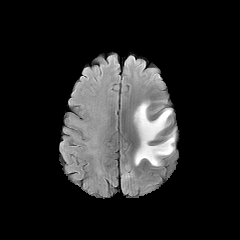
FLAIR MRI.
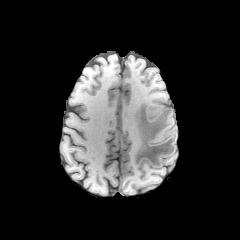
T1-weighted MR.
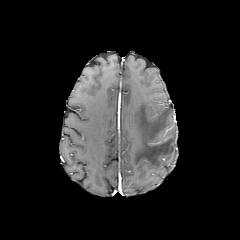
Post-contrast T1-weighted MR image.
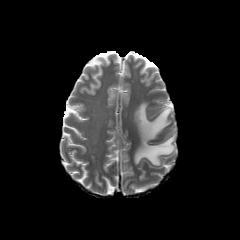
Same slice, T2-weighted MR image.
Head
• peritumoral edema: rect(134, 102, 175, 165)